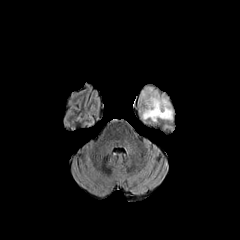
FLAIR MRI.
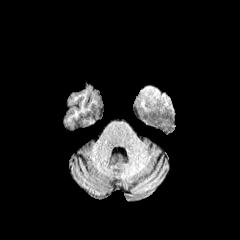
T1-weighted MR image.
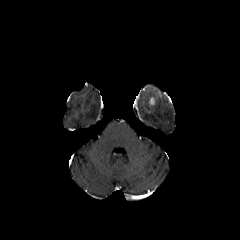
Post-contrast T1-weighted MRI.
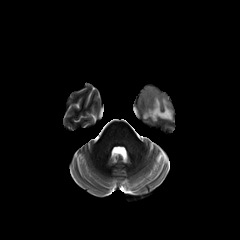
Same slice, T2-weighted MR image.
Axial plane; Brain
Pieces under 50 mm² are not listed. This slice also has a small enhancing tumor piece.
peritumoral_edema:
  - (141,88,172,121)